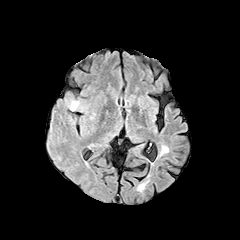
FLAIR magnetic resonance.
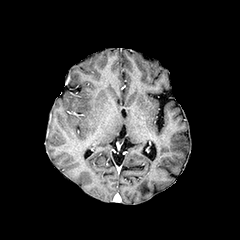
T1-weighted MR image.
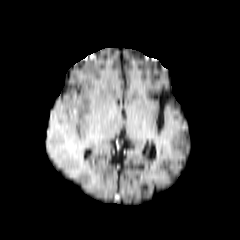
Same slice, post-contrast T1-weighted MR image.
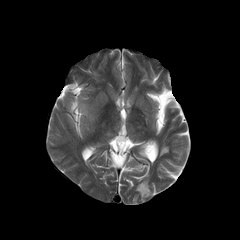
T2-weighted MRI.
Axial slice, Brain
peritumoral edema: bbox=[66, 99, 83, 111]